240x240 px. Slice 96 of 155. Head.
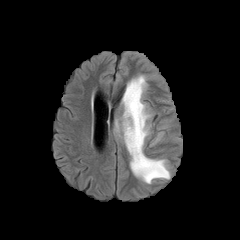
FLAIR magnetic resonance.
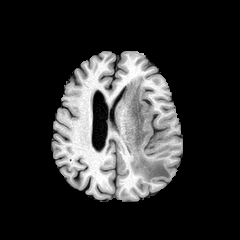
T1-weighted magnetic resonance.
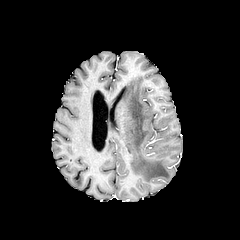
Post-contrast T1-weighted MRI.
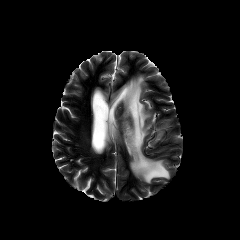
T2-weighted MR.
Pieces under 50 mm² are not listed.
peritumoral edema — <box>122,75,170,183</box>